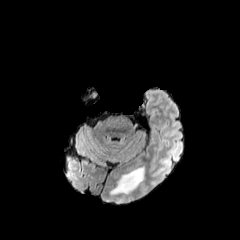
FLAIR MR.
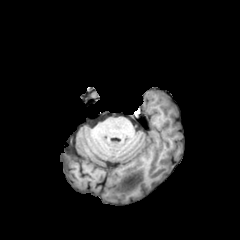
T1-weighted magnetic resonance.
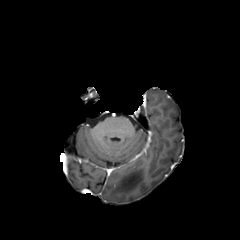
Post-contrast T1-weighted MR.
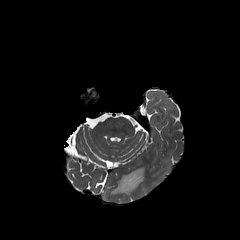
T2-weighted magnetic resonance of the same slice.
Axial slice
peritumoral edema: x1=110 y1=165 x2=145 y2=196